Image size 240x240
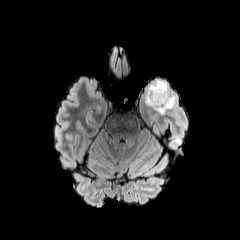
FLAIR MR.
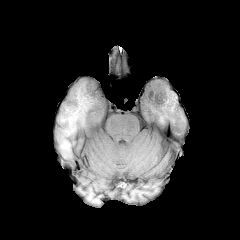
Same slice, T1-weighted magnetic resonance.
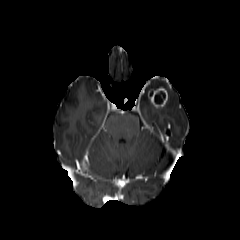
Post-contrast T1-weighted MRI.
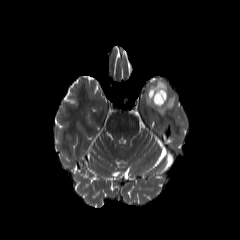
Same slice, T2-weighted MRI.
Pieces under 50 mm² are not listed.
Findings:
- enhancing tumor: (x1=148, y1=87, x2=168, y2=108)
- necrotic tumor core: (x1=154, y1=91, x2=165, y2=104)
- peritumoral edema: (x1=145, y1=80, x2=176, y2=114)